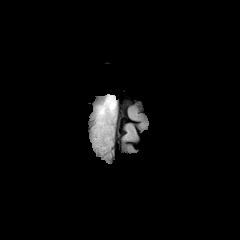
FLAIR MR image.
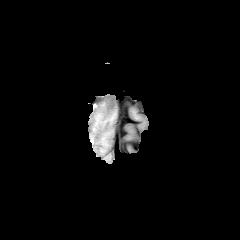
T1-weighted MRI.
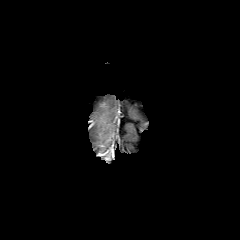
Post-contrast T1-weighted MR.
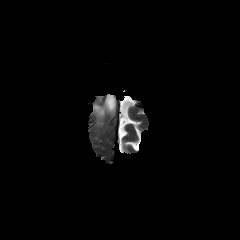
T2-weighted magnetic resonance of the same slice.
Axial slice. Brain.
peritumoral edema: l=98, t=95, r=115, b=117